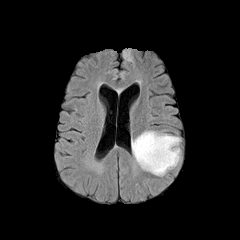
FLAIR MRI.
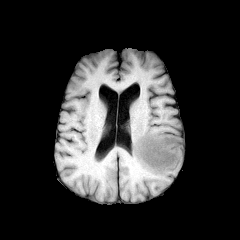
Same slice, T1-weighted MR.
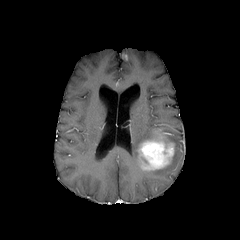
Post-contrast T1-weighted magnetic resonance of the same slice.
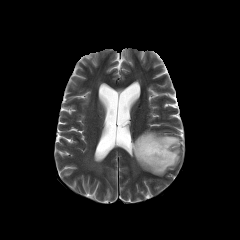
T2-weighted MRI.
Brain; 240x240
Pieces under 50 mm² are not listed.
enhancing tumor — [x1=137, y1=132, x2=174, y2=170]
peritumoral edema — [x1=123, y1=48, x2=130, y2=60], [x1=131, y1=131, x2=157, y2=165], [x1=147, y1=133, x2=180, y2=175]